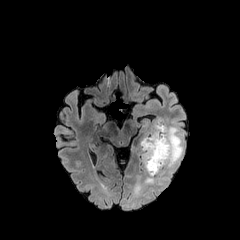
FLAIR magnetic resonance.
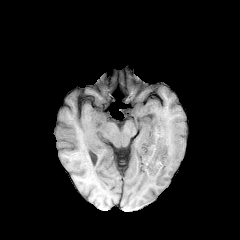
T1-weighted MR of the same slice.
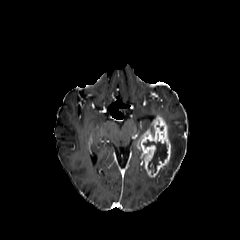
Post-contrast T1-weighted MRI of the same slice.
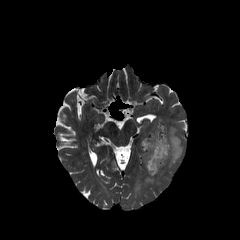
T2-weighted magnetic resonance of the same slice.
240x240 px
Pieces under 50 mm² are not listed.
<segmentation>
  <enhancing_tumor>136,115,170,177</enhancing_tumor>
  <necrotic_tumor_core>143,140,167,172</necrotic_tumor_core>
  <peritumoral_edema>133,125,183,192</peritumoral_edema>
</segmentation>